Slice index 83
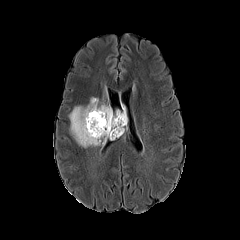
FLAIR MR.
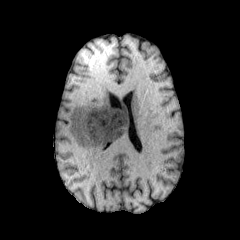
T1-weighted magnetic resonance.
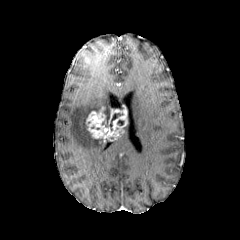
Post-contrast T1-weighted magnetic resonance of the same slice.
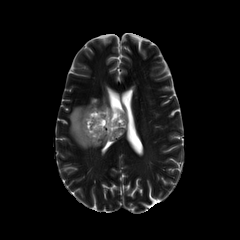
T2-weighted MR image of the same slice.
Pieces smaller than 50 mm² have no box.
enhancing tumor: (86, 107, 127, 141)
necrotic tumor core: (110, 113, 122, 130)
peritumoral edema: (69, 97, 110, 147)